FLAIR MR image.
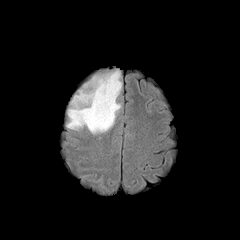
T1-weighted MR image.
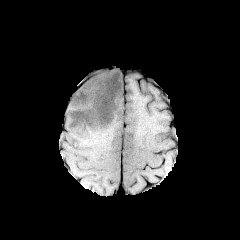
Post-contrast T1-weighted MR.
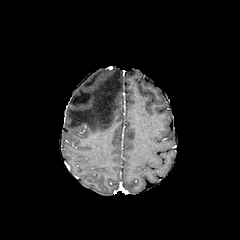
T2-weighted MR image.
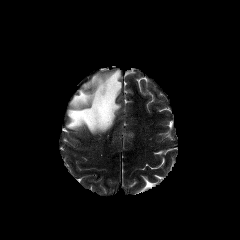
Axial view
peritumoral edema: box=[66, 69, 121, 134]